FLAIR MRI.
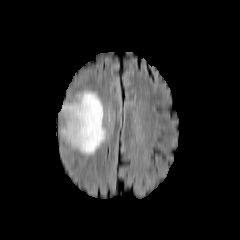
T1-weighted MR.
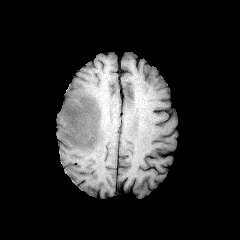
Post-contrast T1-weighted MRI.
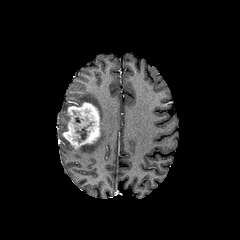
T2-weighted MRI.
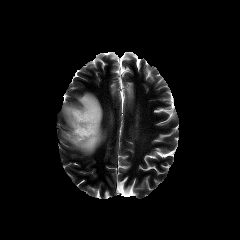
Axial view.
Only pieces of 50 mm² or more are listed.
The largest necrotic tumor core region is located at 76,127,86,141. The enhancing tumor is at 62,102,100,148. The 2 largest peritumoral edema regions are located at 74,91,106,154; 61,103,75,134.